FLAIR MR image.
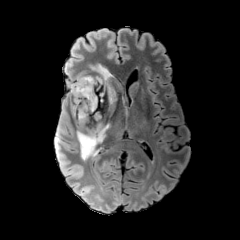
T1-weighted MR image.
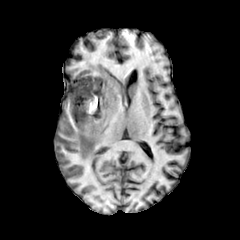
Post-contrast T1-weighted MR image.
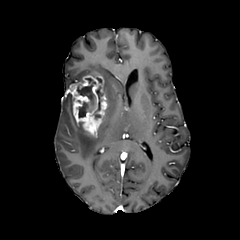
T2-weighted magnetic resonance.
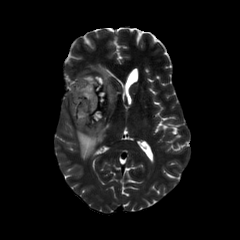
Axial plane
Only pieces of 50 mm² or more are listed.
enhancing tumor: l=69, t=75, r=108, b=136
peritumoral edema: l=90, t=64, r=117, b=117; l=76, t=123, r=109, b=159
necrotic tumor core: l=77, t=78, r=95, b=117